Image size 240x240, Image width 240 mm, 1.00 mm slice spacing
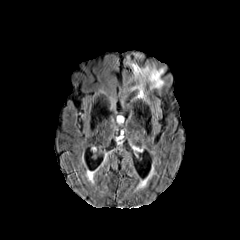
FLAIR MRI.
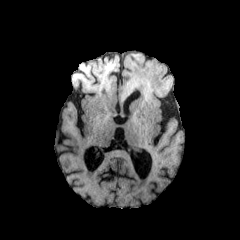
T1-weighted MR image of the same slice.
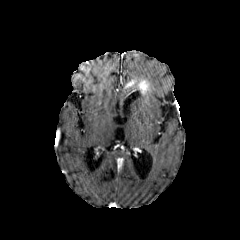
Post-contrast T1-weighted MRI.
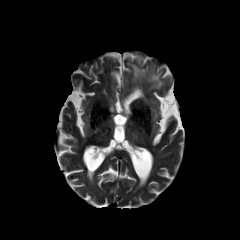
Same slice, T2-weighted MR image.
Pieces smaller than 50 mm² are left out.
The largest enhancing tumor region is at box(138, 80, 148, 93). The largest peritumoral edema region is located at box(127, 61, 163, 100).